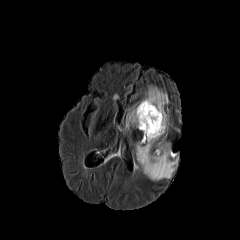
FLAIR MR.
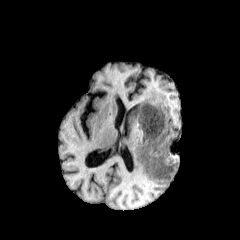
Same slice, T1-weighted MRI.
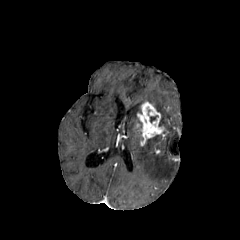
Same slice, post-contrast T1-weighted MRI.
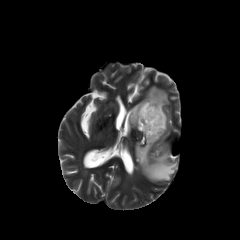
Same slice, T2-weighted MR image.
Head. 240x240.
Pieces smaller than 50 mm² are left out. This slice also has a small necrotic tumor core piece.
peritumoral edema — (136,135,177,180), (129,87,168,129)
enhancing tumor — (137,101,165,145)